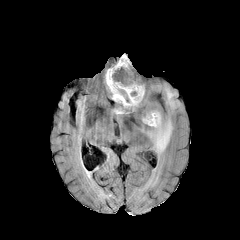
FLAIR MR image.
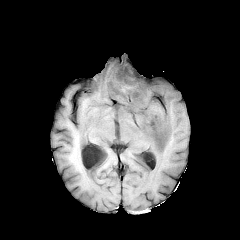
T1-weighted MRI of the same slice.
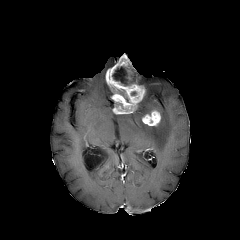
Post-contrast T1-weighted MRI.
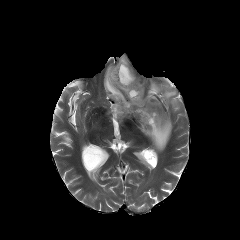
T2-weighted MR of the same slice.
240x240; Axial plane
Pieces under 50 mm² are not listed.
necrotic tumor core — {"x1": 112, "y1": 66, "x2": 128, "y2": 85}
enhancing tumor — {"x1": 105, "y1": 54, "x2": 145, "y2": 114}, {"x1": 142, "y1": 110, "x2": 160, "y2": 126}
peritumoral edema — {"x1": 140, "y1": 112, "x2": 172, "y2": 153}, {"x1": 104, "y1": 79, "x2": 112, "y2": 97}, {"x1": 141, "y1": 109, "x2": 159, "y2": 119}, {"x1": 138, "y1": 83, "x2": 180, "y2": 110}